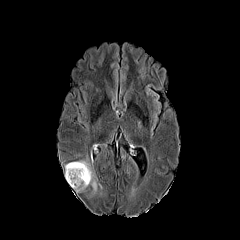
FLAIR MR.
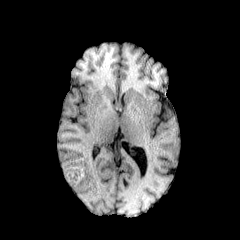
Same slice, T1-weighted MRI.
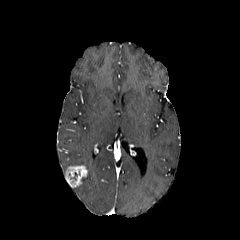
Post-contrast T1-weighted MR image of the same slice.
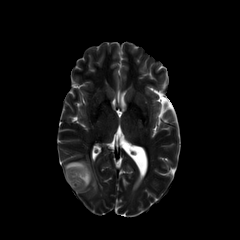
T2-weighted MR image of the same slice.
Axial view
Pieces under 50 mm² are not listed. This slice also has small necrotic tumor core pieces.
enhancing tumor: bounding box (left=65, top=165, right=87, bottom=187)
peritumoral edema: bounding box (left=64, top=160, right=97, bottom=193)